FLAIR MR image.
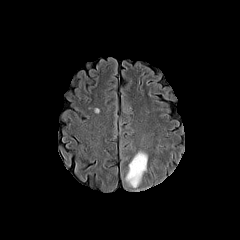
T1-weighted MR.
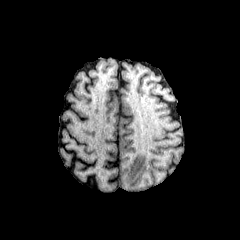
Post-contrast T1-weighted MR.
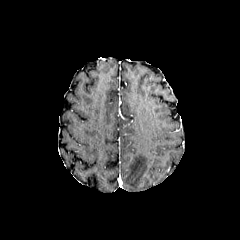
T2-weighted magnetic resonance.
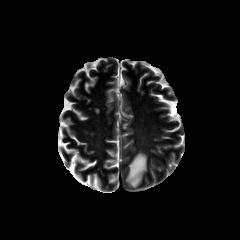
Axial view, Brain
Segmented structures:
- peritumoral edema: 125 151 147 188